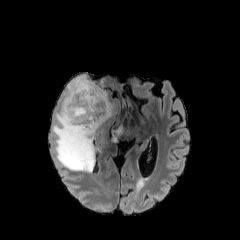
FLAIR MR.
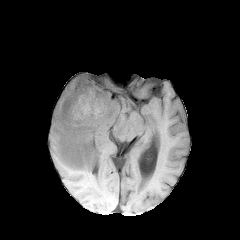
T1-weighted MRI.
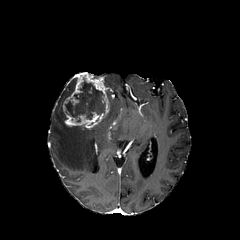
Post-contrast T1-weighted magnetic resonance.
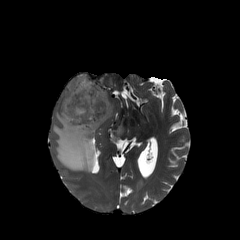
T2-weighted magnetic resonance.
Axial plane
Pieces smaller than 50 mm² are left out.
enhancing tumor: x1=63 y1=72 x2=109 y2=129 | necrotic tumor core: x1=65 y1=78 x2=105 y2=119 | peritumoral edema: x1=52 y1=77 x2=113 y2=172, x1=112 y1=125 x2=123 y2=142